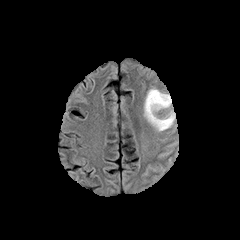
FLAIR MRI.
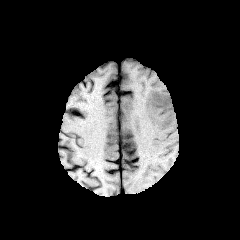
T1-weighted MR.
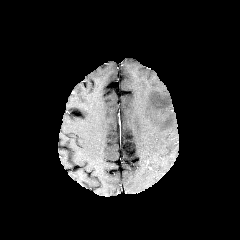
Same slice, post-contrast T1-weighted MR.
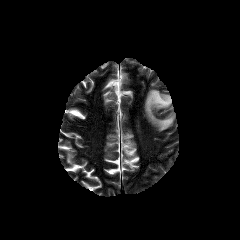
T2-weighted MR image.
Brain | Axial slice
<segmentation>
  <peritumoral_edema>144, 88, 175, 131</peritumoral_edema>
</segmentation>